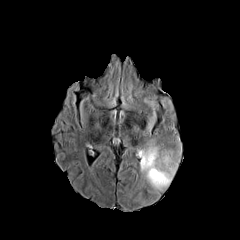
FLAIR MRI.
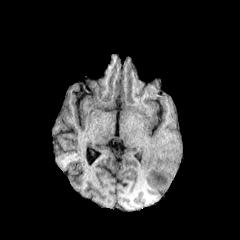
T1-weighted MR.
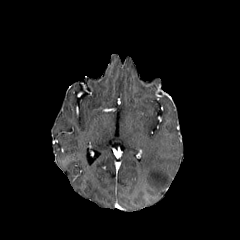
Post-contrast T1-weighted MRI of the same slice.
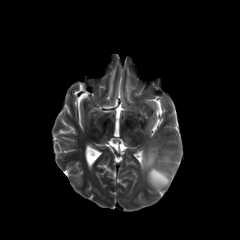
T2-weighted MRI.
Axial slice, Brain
{
  "peritumoral_edema": [
    "x1=139, y1=142, x2=181, y2=190"
  ]
}